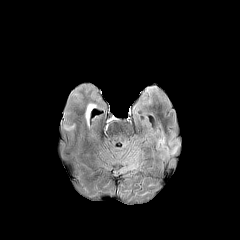
FLAIR magnetic resonance.
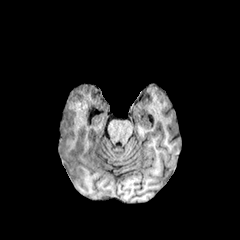
T1-weighted MR of the same slice.
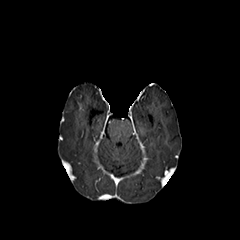
Post-contrast T1-weighted MR image.
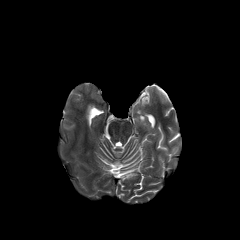
T2-weighted magnetic resonance.
Axial slice. Head.
The peritumoral edema appears at 86:104:95:120.